Head, Slice 32/155, 240x240
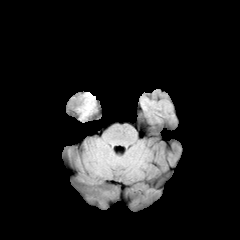
FLAIR magnetic resonance.
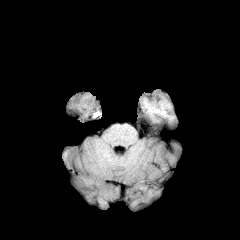
T1-weighted MR image.
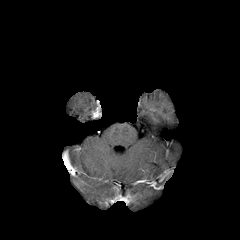
Post-contrast T1-weighted MR.
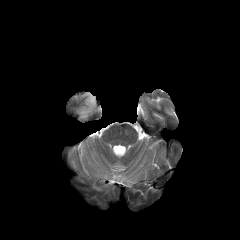
T2-weighted MR image.
peritumoral edema: 79:92:95:118